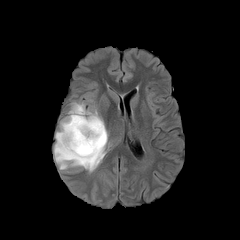
FLAIR magnetic resonance.
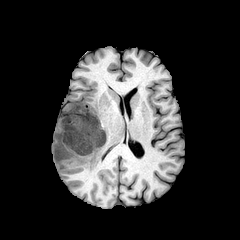
T1-weighted MR image.
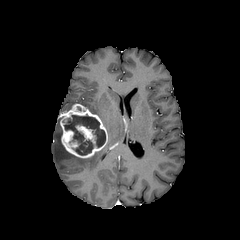
Same slice, post-contrast T1-weighted MR image.
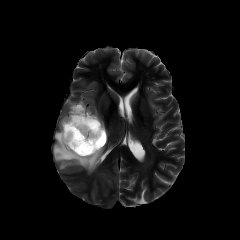
T2-weighted MR image of the same slice.
Brain | Axial view
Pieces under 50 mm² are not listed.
Annotated regions:
- peritumoral edema: box=[53, 126, 105, 172]
- enhancing tumor: box=[60, 103, 107, 158]
- necrotic tumor core: box=[65, 115, 105, 155]